Head; Axial slice; Image width 240 mm; Slice 76/155; 240x240 px
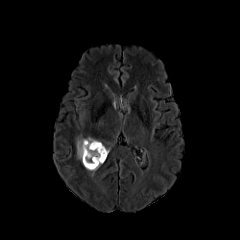
FLAIR MR.
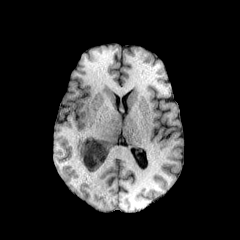
T1-weighted MR image.
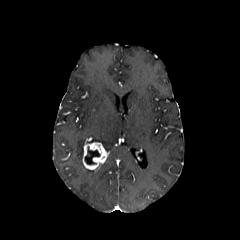
Post-contrast T1-weighted magnetic resonance of the same slice.
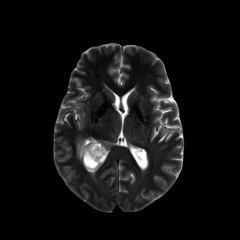
T2-weighted magnetic resonance.
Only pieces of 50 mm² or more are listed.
enhancing tumor: 82, 139, 108, 169
necrotic tumor core: 85, 146, 100, 164
peritumoral edema: 76, 135, 86, 160